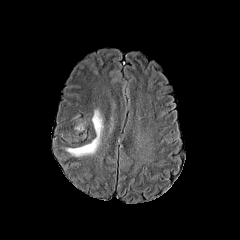
FLAIR MR image.
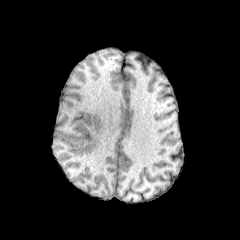
T1-weighted MRI of the same slice.
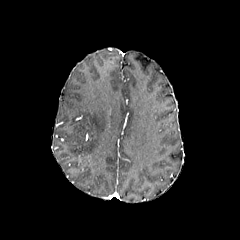
Same slice, post-contrast T1-weighted MR.
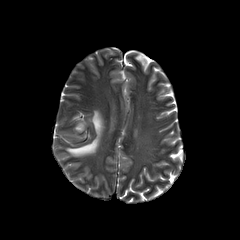
T2-weighted magnetic resonance.
240x240 px, Head
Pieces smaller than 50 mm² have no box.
Segmented structures:
- peritumoral edema: bbox=[66, 110, 103, 156]